Brain. Image covers 240 mm x 240 mm. Axial plane.
FLAIR magnetic resonance.
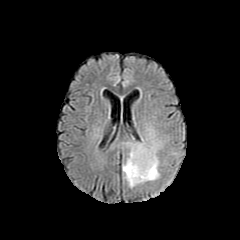
T1-weighted MR image.
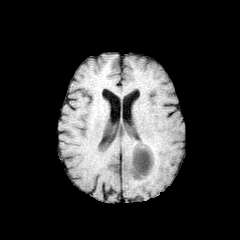
Post-contrast T1-weighted MRI.
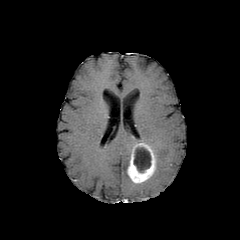
T2-weighted MR image.
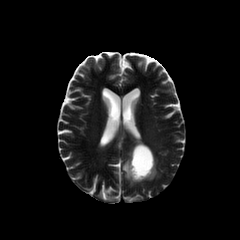
<segmentation>
  <enhancing_tumor>(left=127, top=143, right=155, bottom=182)</enhancing_tumor>
  <peritumoral_edema>(left=109, top=129, right=161, bottom=188)</peritumoral_edema>
  <necrotic_tumor_core>(left=134, top=147, right=150, bottom=172)</necrotic_tumor_core>
</segmentation>